240x240 px, Slice index 49, Head
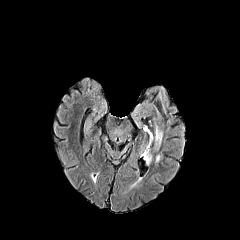
FLAIR magnetic resonance.
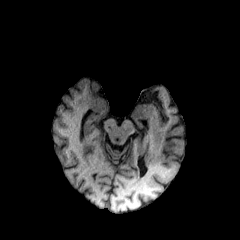
T1-weighted MRI.
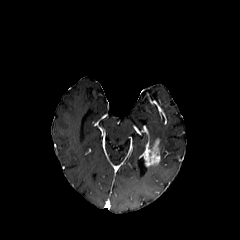
Post-contrast T1-weighted MRI.
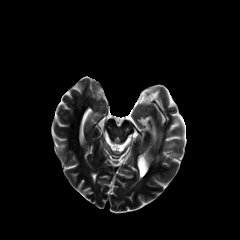
T2-weighted MR of the same slice.
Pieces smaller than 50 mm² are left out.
{"enhancing_tumor": ["bbox=[144, 138, 160, 166]"], "peritumoral_edema": ["bbox=[155, 127, 162, 143]"]}